FLAIR MRI.
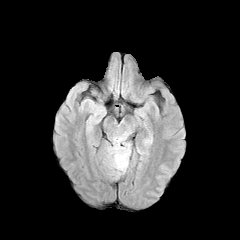
T1-weighted magnetic resonance.
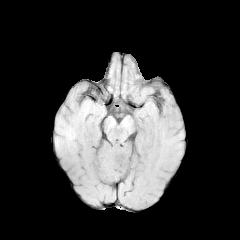
Post-contrast T1-weighted MR image.
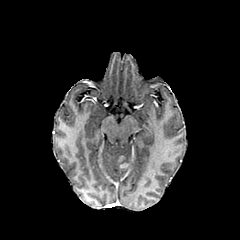
T2-weighted MRI.
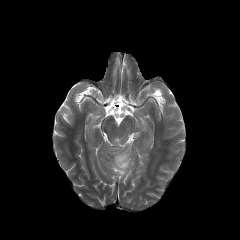
Axial slice
enhancing_tumor:
  - bbox=[118, 155, 129, 169]
peritumoral_edema:
  - bbox=[106, 130, 131, 178]